Axial view. Head.
FLAIR MR image.
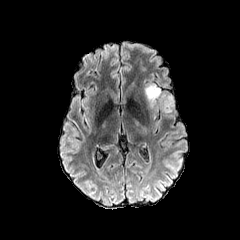
T1-weighted magnetic resonance.
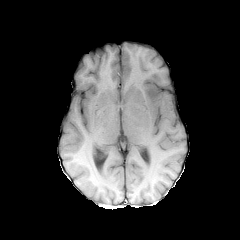
Post-contrast T1-weighted magnetic resonance.
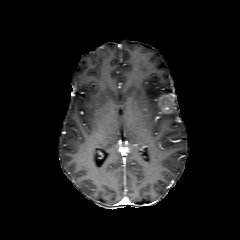
T2-weighted MR image.
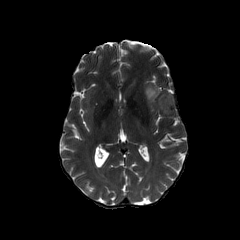
Findings:
- enhancing tumor: <box>157,94,176,113</box>
- peritumoral edema: <box>144,84,160,107</box>